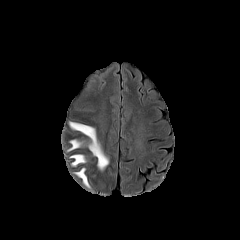
FLAIR magnetic resonance.
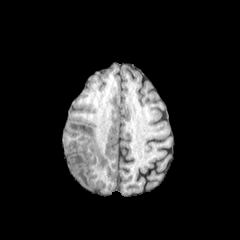
Same slice, T1-weighted magnetic resonance.
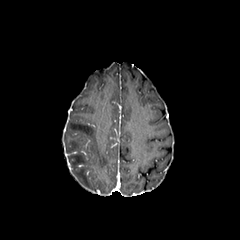
Post-contrast T1-weighted MR image of the same slice.
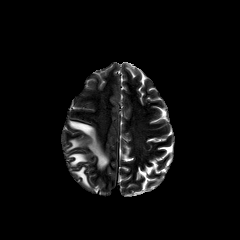
T2-weighted magnetic resonance.
240x240
4 peritumoral edema regions appear at 74,168,90,188; 67,139,85,151; 70,154,86,166; 69,121,109,170.